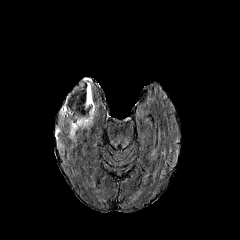
FLAIR MRI.
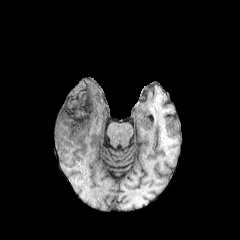
Same slice, T1-weighted MR image.
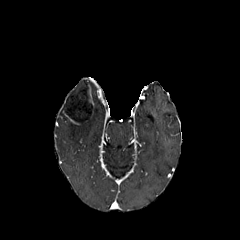
Post-contrast T1-weighted MR image.
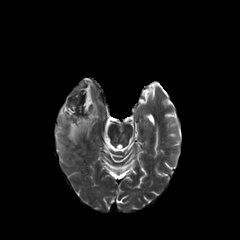
T2-weighted MR of the same slice.
Head | Axial view
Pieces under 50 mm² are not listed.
enhancing tumor — (88,85,94,118), (71,81,85,95)
peritumoral edema — (60,104,97,142)
necrotic tumor core — (61,81,92,121)